Brain, 240x240 px
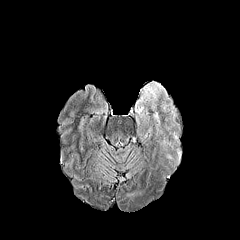
FLAIR MR.
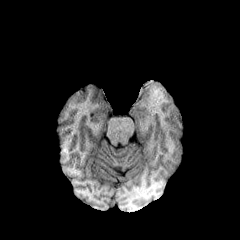
Same slice, T1-weighted magnetic resonance.
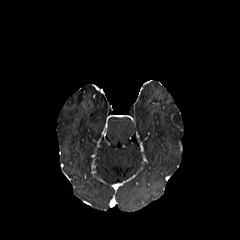
Same slice, post-contrast T1-weighted MRI.
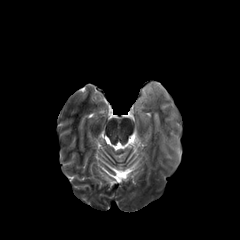
T2-weighted MR.
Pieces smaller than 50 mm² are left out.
peritumoral edema: <bbox>135, 83, 163, 125</bbox>